Axial slice; Slice index 71; Brain
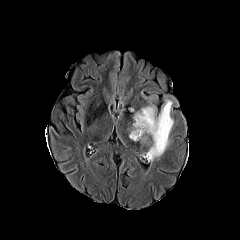
FLAIR magnetic resonance.
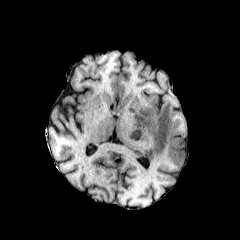
T1-weighted MRI.
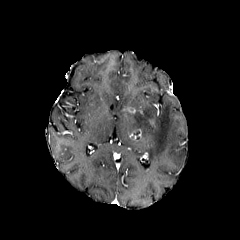
Post-contrast T1-weighted magnetic resonance of the same slice.
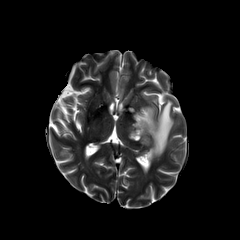
Same slice, T2-weighted MR.
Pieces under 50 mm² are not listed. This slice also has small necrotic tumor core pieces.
<segmentation>
  <enhancing_tumor>123 107 135 113, 129 129 148 144</enhancing_tumor>
  <peritumoral_edema>131 100 173 160</peritumoral_edema>
</segmentation>